FLAIR MR image.
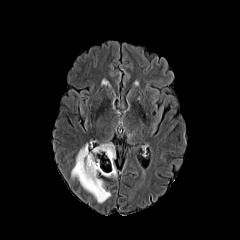
T1-weighted MRI.
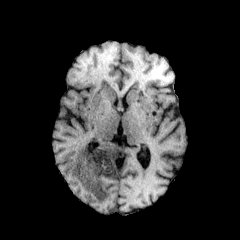
Post-contrast T1-weighted magnetic resonance.
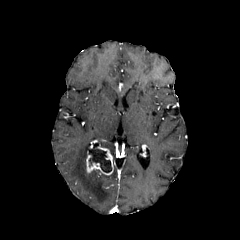
T2-weighted magnetic resonance.
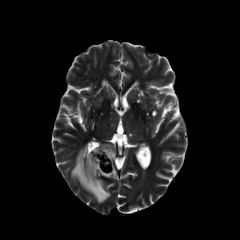
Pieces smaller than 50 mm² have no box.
Findings:
- enhancing tumor: <box>86,146,113,175</box>
- necrotic tumor core: <box>89,149,111,172</box>
- peritumoral edema: <box>100,161,117,179</box>, <box>71,142,111,203</box>, <box>101,141,116,159</box>